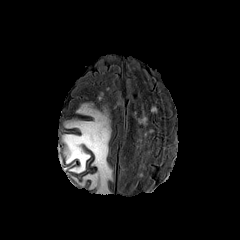
FLAIR MR image.
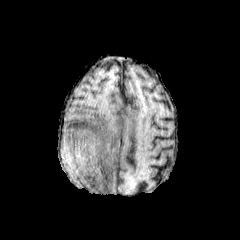
T1-weighted MRI.
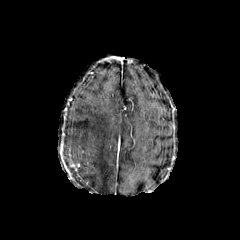
Post-contrast T1-weighted MR image.
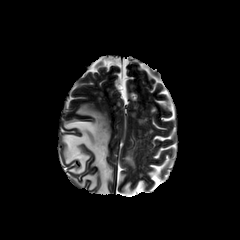
Same slice, T2-weighted magnetic resonance.
240x240 px; Brain
<segmentation>
  <peritumoral_edema>[64, 105, 112, 193]</peritumoral_edema>
</segmentation>